Axial view | Image size 240x240 | Head
FLAIR MRI.
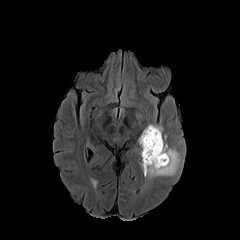
T1-weighted MR.
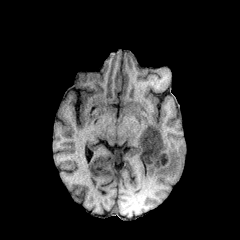
Post-contrast T1-weighted MR image.
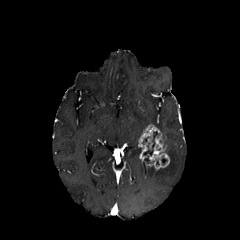
T2-weighted magnetic resonance.
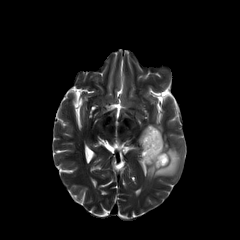
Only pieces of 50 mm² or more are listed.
The largest peritumoral edema region is bounded by (left=141, top=143, right=180, bottom=179). The largest necrotic tumor core region is located at (left=143, top=142, right=155, bottom=155). The enhancing tumor appears at (left=138, top=124, right=169, bottom=170).